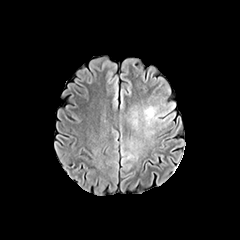
FLAIR MR image.
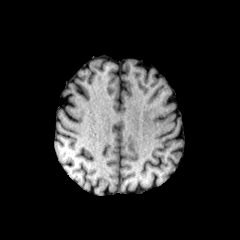
T1-weighted MRI of the same slice.
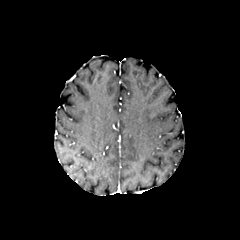
Same slice, post-contrast T1-weighted MR.
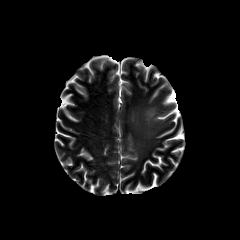
T2-weighted MRI.
Brain. Image size 240x240.
The peritumoral edema is at (x1=143, y1=106, x2=160, y2=125).